FLAIR MR image.
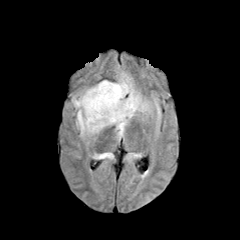
T1-weighted magnetic resonance.
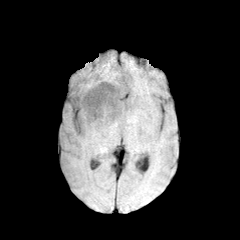
Post-contrast T1-weighted MRI.
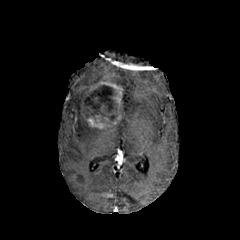
T2-weighted magnetic resonance.
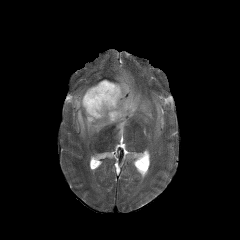
Axial slice. Brain.
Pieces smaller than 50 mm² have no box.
Annotated regions:
- peritumoral edema: region(112, 71, 159, 139); region(72, 87, 102, 137); region(94, 153, 108, 159)
- enhancing tumor: region(80, 81, 123, 128)
- necrotic tumor core: region(83, 85, 117, 123)